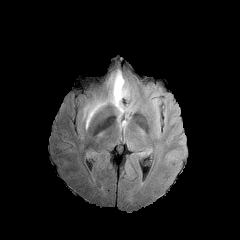
FLAIR MRI.
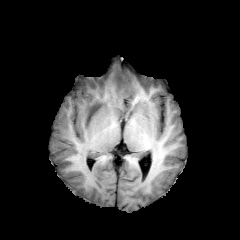
T1-weighted MR image of the same slice.
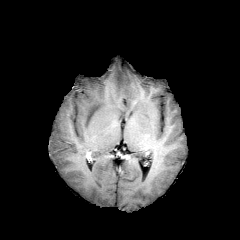
Post-contrast T1-weighted MR image.
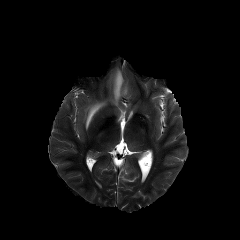
T2-weighted MR image.
Axial view | Head | 240x240
<segmentation>
  <peritumoral_edema>84, 69, 129, 128</peritumoral_edema>
</segmentation>